FLAIR MRI.
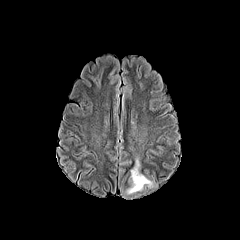
T1-weighted MRI.
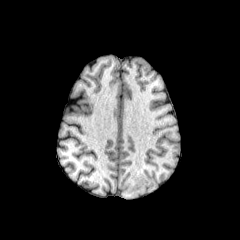
Post-contrast T1-weighted MR.
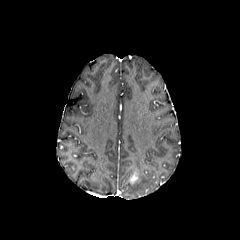
T2-weighted magnetic resonance.
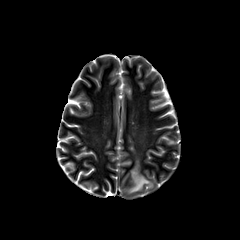
Axial view | Brain
The peritumoral edema is located at 127 158 153 193. The enhancing tumor is located at 130 171 137 183.